Axial view, Image covers 240 mm x 240 mm
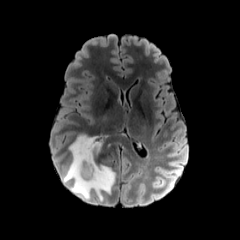
FLAIR MR.
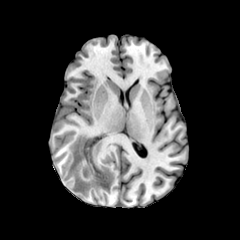
T1-weighted MRI.
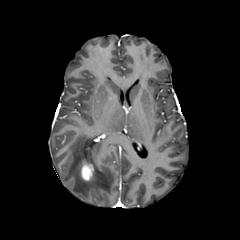
Post-contrast T1-weighted magnetic resonance.
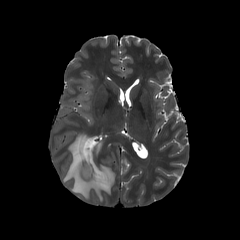
T2-weighted MRI.
• enhancing tumor: rect(80, 162, 94, 181)
• peritumoral edema: rect(63, 134, 115, 201)